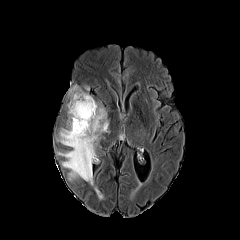
FLAIR MR image.
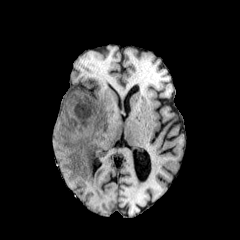
T1-weighted MR.
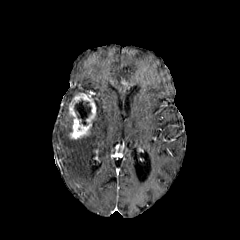
Post-contrast T1-weighted MR image of the same slice.
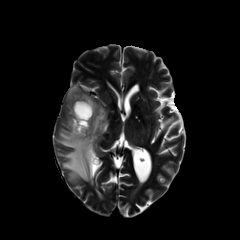
T2-weighted MR image.
Brain; Image size 240x240; Axial plane
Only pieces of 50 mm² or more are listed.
necrotic_tumor_core:
  - {"x1": 74, "y1": 100, "x2": 91, "y2": 125}
peritumoral_edema:
  - {"x1": 68, "y1": 86, "x2": 83, "y2": 101}
  - {"x1": 57, "y1": 102, "x2": 108, "y2": 185}
enhancing_tumor:
  - {"x1": 68, "y1": 93, "x2": 96, "y2": 139}